240x240 px. Head.
FLAIR MR.
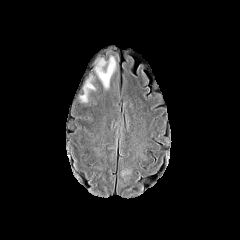
T1-weighted magnetic resonance.
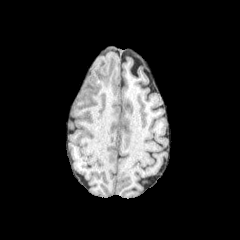
Post-contrast T1-weighted magnetic resonance.
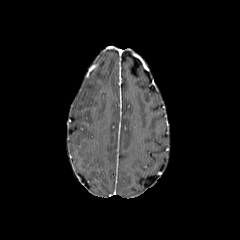
T2-weighted magnetic resonance.
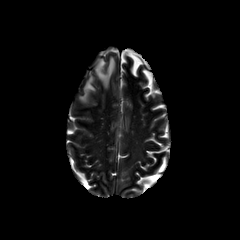
2 peritumoral edema regions are located at (x1=96, y1=57, x2=115, y2=87), (x1=80, y1=78, x2=94, y2=101).